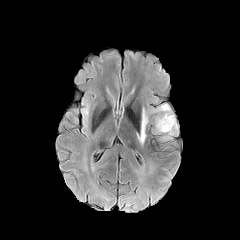
FLAIR MRI.
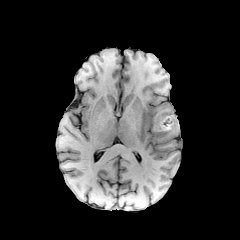
T1-weighted magnetic resonance.
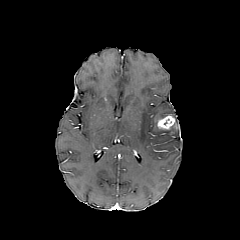
Post-contrast T1-weighted magnetic resonance.
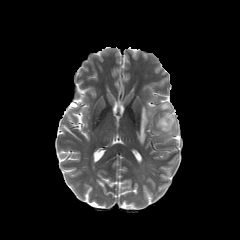
T2-weighted MRI.
Image size 240x240; Brain; Axial plane
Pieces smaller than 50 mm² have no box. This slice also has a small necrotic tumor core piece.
enhancing tumor at 157, 115, 175, 129
peritumoral edema at 137, 108, 148, 144; 152, 104, 178, 138